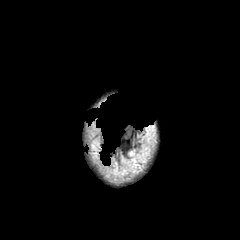
FLAIR magnetic resonance.
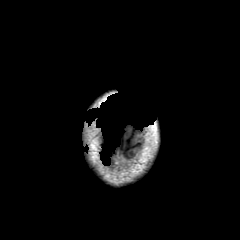
T1-weighted MR image.
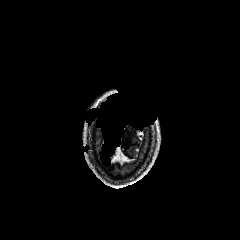
Same slice, post-contrast T1-weighted MR image.
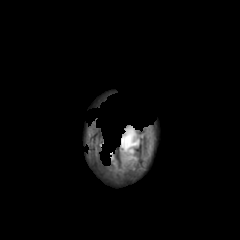
T2-weighted MR.
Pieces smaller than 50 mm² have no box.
peritumoral_edema:
  - left=122, top=149, right=139, bottom=167